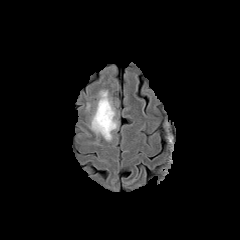
FLAIR magnetic resonance.
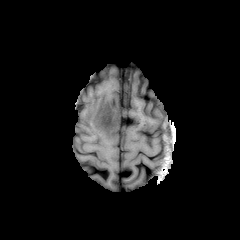
T1-weighted MRI.
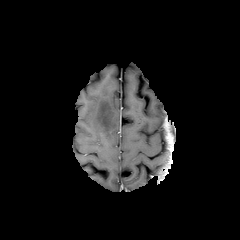
Post-contrast T1-weighted MR image.
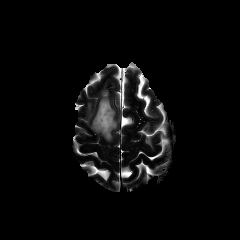
T2-weighted MR image.
Head. Axial plane.
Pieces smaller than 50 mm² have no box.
peritumoral edema: bounding box left=90, top=90, right=118, bottom=141